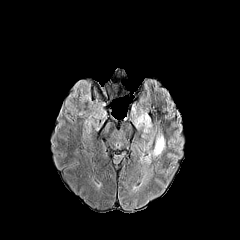
FLAIR MR.
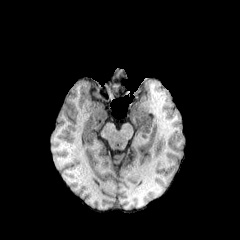
T1-weighted MRI.
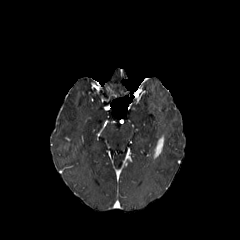
Same slice, post-contrast T1-weighted MR.
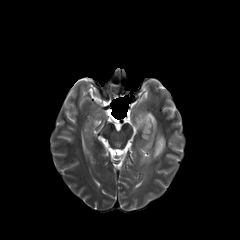
Same slice, T2-weighted MR image.
Brain. Axial slice. 240x240 px.
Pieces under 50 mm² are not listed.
The 2 largest peritumoral edema regions are located at [x1=144, y1=151, x2=153, y2=164], [x1=136, y1=113, x2=151, y2=132]. The enhancing tumor is bounded by [x1=154, y1=135, x2=164, y2=156].